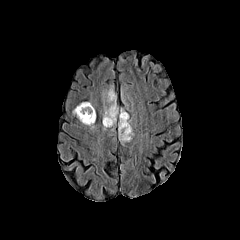
FLAIR MR image.
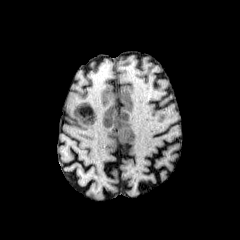
T1-weighted MRI.
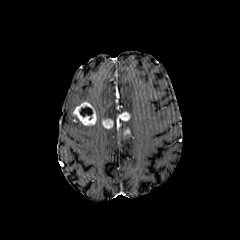
Post-contrast T1-weighted MR.
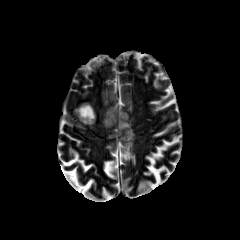
T2-weighted MR image.
Brain
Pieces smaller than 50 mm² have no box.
peritumoral edema at 118,119,133,142; 103,87,116,117
enhancing tumor at 72,102,96,125; 102,116,113,128; 116,112,129,128
necrotic tumor core at 79,107,92,116